Image width 240 mm, 1.00 mm slice spacing
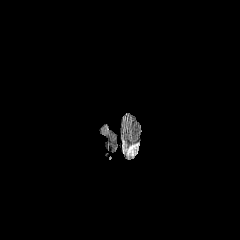
FLAIR MRI.
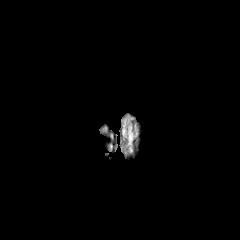
Same slice, T1-weighted MRI.
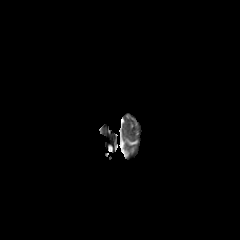
Post-contrast T1-weighted magnetic resonance.
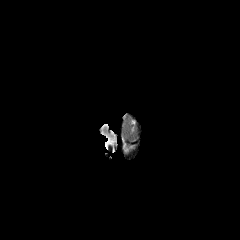
Same slice, T2-weighted magnetic resonance.
peritumoral edema at [x1=126, y1=141, x2=139, y2=155]